240x240, Axial view
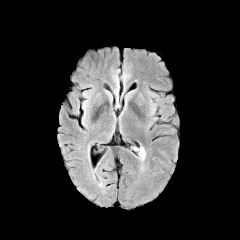
FLAIR magnetic resonance.
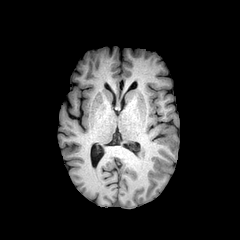
Same slice, T1-weighted magnetic resonance.
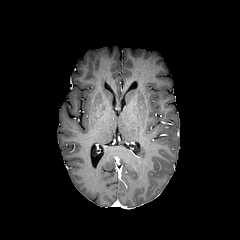
Post-contrast T1-weighted MR.
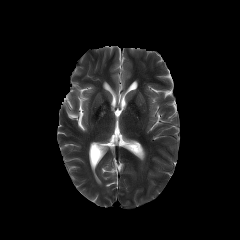
Same slice, T2-weighted MR image.
peritumoral_edema:
  - region(140, 147, 145, 159)